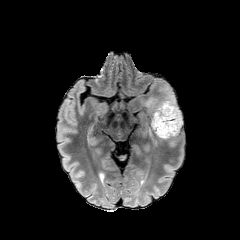
FLAIR magnetic resonance.
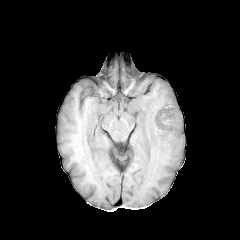
T1-weighted MRI of the same slice.
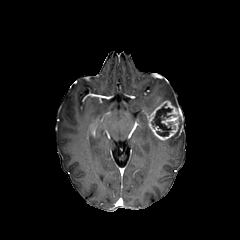
Same slice, post-contrast T1-weighted MR image.
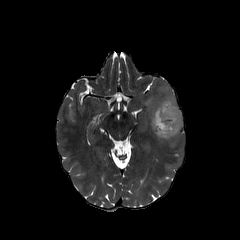
T2-weighted magnetic resonance.
Head
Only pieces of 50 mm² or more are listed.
necrotic tumor core: 151 104 172 136 | enhancing tumor: 148 100 182 140 | peritumoral edema: 149 119 182 145, 144 87 178 114